240x240 px, Head
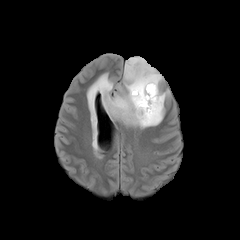
FLAIR MR.
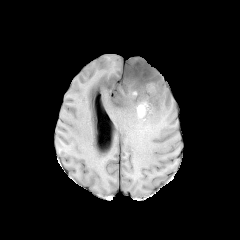
T1-weighted magnetic resonance.
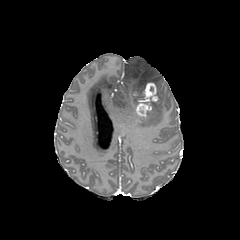
Post-contrast T1-weighted MR.
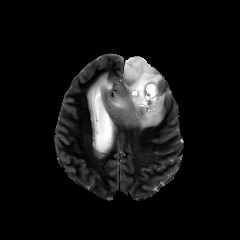
Same slice, T2-weighted MR.
Annotated regions:
- enhancing tumor: <bbox>135, 82, 158, 116</bbox>
- peritumoral edema: <bbox>87, 57, 169, 128</bbox>